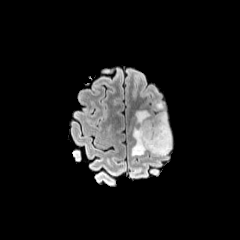
FLAIR magnetic resonance.
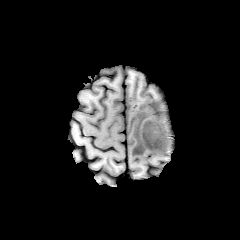
T1-weighted MRI.
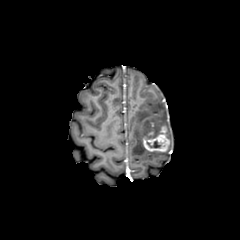
Post-contrast T1-weighted magnetic resonance.
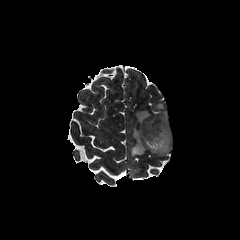
Same slice, T2-weighted MR image.
Brain
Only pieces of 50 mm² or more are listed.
enhancing tumor — [x1=142, y1=126, x2=170, y2=152]
peritumoral edema — [x1=155, y1=102, x2=164, y2=109], [x1=131, y1=110, x2=172, y2=155]
necrotic tumor core — [x1=147, y1=140, x2=160, y2=148]